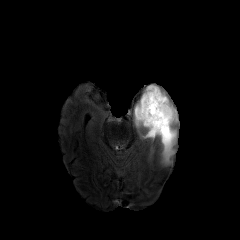
FLAIR MRI.
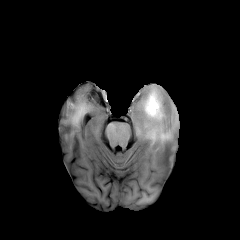
T1-weighted MR image of the same slice.
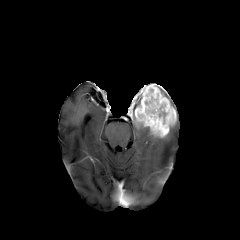
Post-contrast T1-weighted MRI.
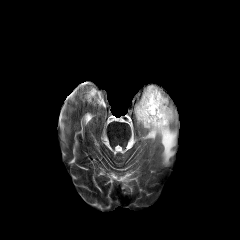
T2-weighted magnetic resonance.
Axial slice
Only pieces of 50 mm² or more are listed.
The enhancing tumor lies within x1=134 y1=84 x2=176 y2=137. The largest peritumoral edema region is located at x1=136 y1=112 x2=178 y2=165.